Head. Axial slice. Slice 133 of 155.
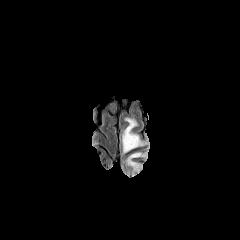
FLAIR MR.
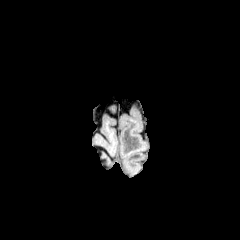
T1-weighted MR image.
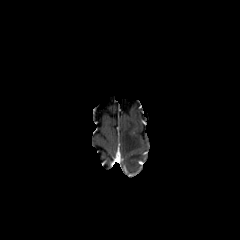
Post-contrast T1-weighted MRI of the same slice.
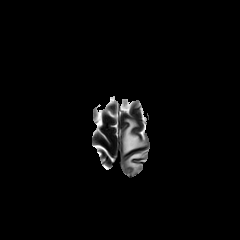
T2-weighted MRI.
2 peritumoral edema regions are located at 126 152 144 171, 122 118 145 153.